FLAIR magnetic resonance.
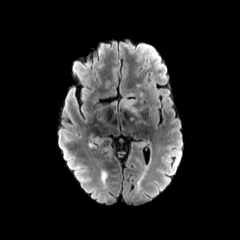
T1-weighted magnetic resonance.
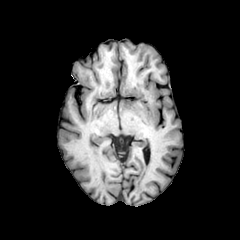
Post-contrast T1-weighted MRI.
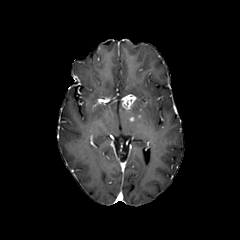
T2-weighted MR.
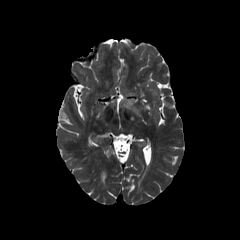
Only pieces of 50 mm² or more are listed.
enhancing tumor: 121, 94, 136, 109 | peritumoral edema: 138, 139, 147, 147; 131, 107, 139, 116